FLAIR MR image.
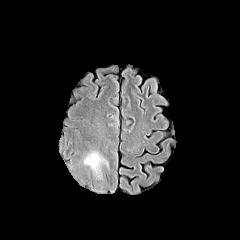
T1-weighted MR.
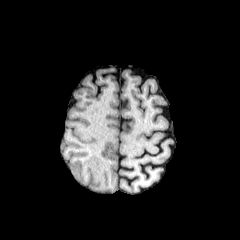
Post-contrast T1-weighted MRI.
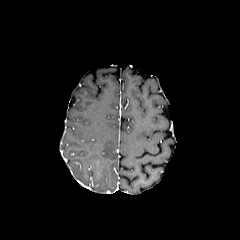
T2-weighted magnetic resonance.
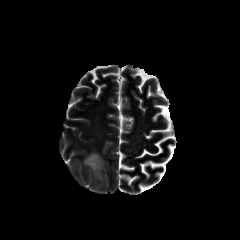
Brain
peritumoral edema = {"x1": 82, "y1": 151, "x2": 109, "y2": 180}